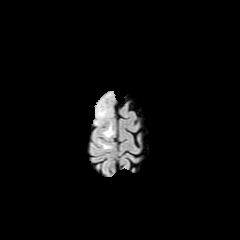
FLAIR MRI.
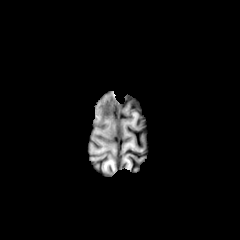
T1-weighted MR image of the same slice.
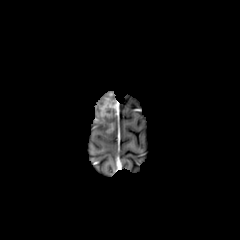
Post-contrast T1-weighted magnetic resonance of the same slice.
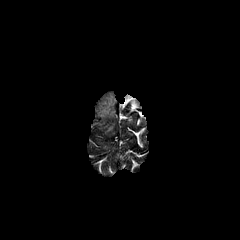
T2-weighted MR image of the same slice.
Brain
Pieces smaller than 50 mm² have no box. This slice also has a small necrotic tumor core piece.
The largest enhancing tumor region is located at (95, 92, 114, 123). The largest peritumoral edema region is at (102, 121, 114, 137).